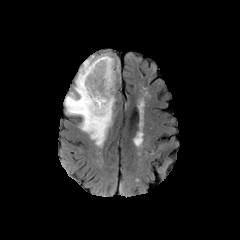
FLAIR MRI.
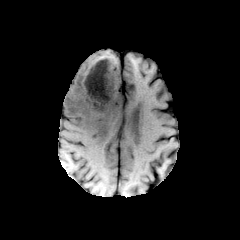
T1-weighted MRI.
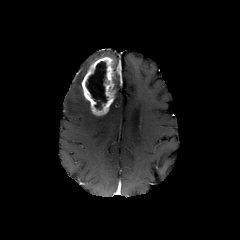
Same slice, post-contrast T1-weighted MRI.
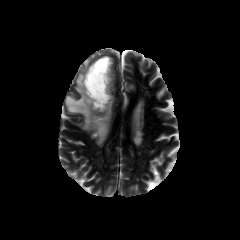
T2-weighted magnetic resonance.
Brain. 240x240 px.
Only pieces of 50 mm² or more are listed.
enhancing tumor: [x1=81, y1=56, x2=120, y2=115] | peritumoral edema: [x1=64, y1=53, x2=118, y2=147] | necrotic tumor core: [x1=86, y1=61, x2=106, y2=109]